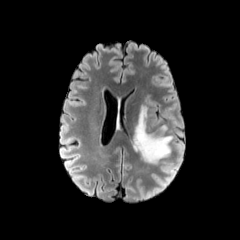
FLAIR MR.
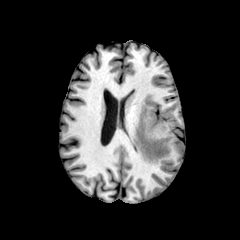
T1-weighted MRI.
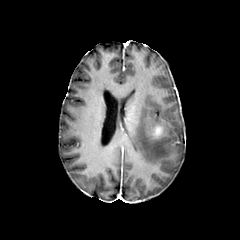
Post-contrast T1-weighted magnetic resonance.
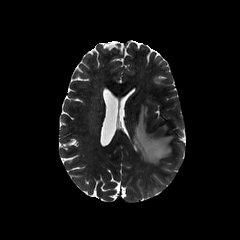
Same slice, T2-weighted MR image.
Head
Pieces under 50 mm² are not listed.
* peritumoral edema: rect(133, 105, 173, 164)
* enhancing tumor: rect(152, 124, 163, 138)